Slice 93 of 155. Brain.
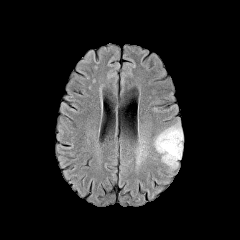
FLAIR MR image.
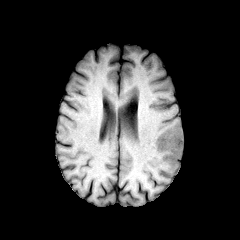
T1-weighted MR image.
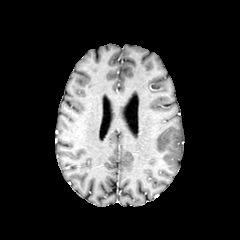
Same slice, post-contrast T1-weighted MR image.
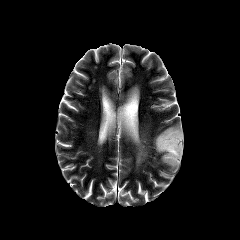
T2-weighted MRI.
peritumoral edema: (left=154, top=124, right=183, bottom=168), (left=136, top=148, right=147, bottom=172)